FLAIR MR.
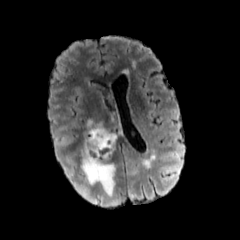
T1-weighted MR.
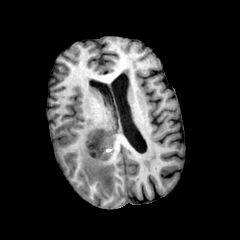
Post-contrast T1-weighted MRI.
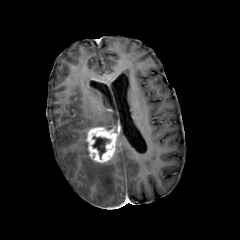
T2-weighted MR image.
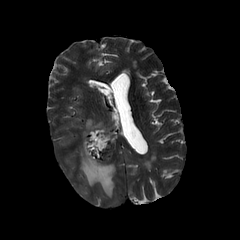
Brain
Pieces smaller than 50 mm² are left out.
The necrotic tumor core is bounded by 93:136:109:158. The enhancing tumor is bounded by 86:127:118:162. The 2 largest peritumoral edema regions are located at 86:119:93:128, 81:140:115:197.